FLAIR MRI.
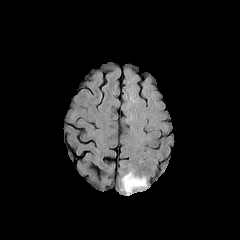
T1-weighted MRI.
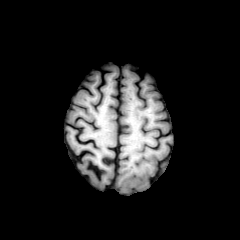
Post-contrast T1-weighted MR.
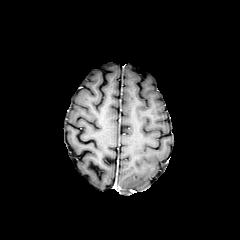
T2-weighted MR.
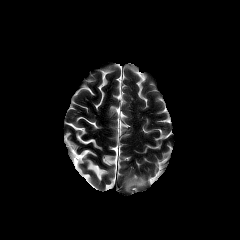
Image size 240x240. Head.
<segmentation>
  <peritumoral_edema>[123, 173, 145, 192]</peritumoral_edema>
</segmentation>